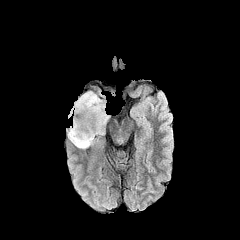
FLAIR MRI.
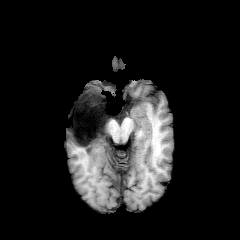
T1-weighted MR.
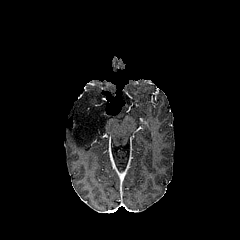
Post-contrast T1-weighted MR image.
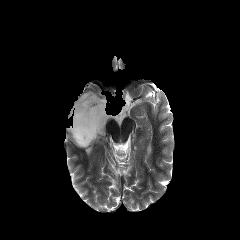
T2-weighted magnetic resonance.
Axial view
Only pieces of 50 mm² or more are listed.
The largest peritumoral edema region is at x1=67, y1=91, x2=109, y2=148.